FLAIR MR image.
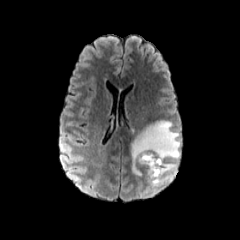
T1-weighted MR image.
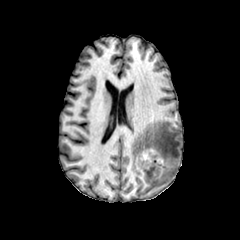
Post-contrast T1-weighted MRI.
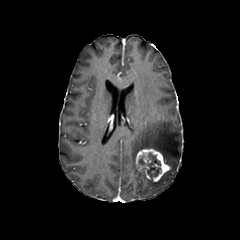
T2-weighted MR image.
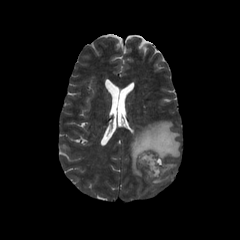
Brain. Axial plane. Image size 240x240.
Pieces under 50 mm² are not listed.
The largest enhancing tumor region is bounded by (135, 147, 170, 182). The peritumoral edema is bounded by (131, 120, 181, 194). The largest necrotic tumor core region is bounded by (147, 152, 161, 177).